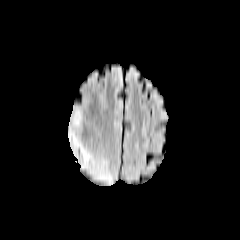
FLAIR magnetic resonance.
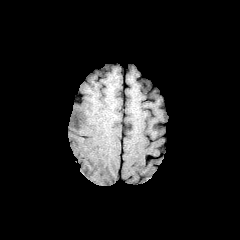
T1-weighted MRI.
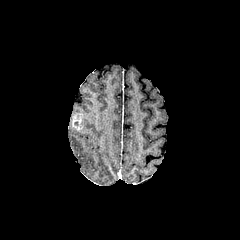
Post-contrast T1-weighted MR.
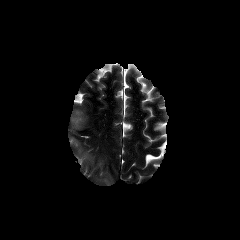
T2-weighted MRI.
Axial slice. Brain.
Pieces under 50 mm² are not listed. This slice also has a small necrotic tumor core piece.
The peritumoral edema is located at (left=68, top=107, right=112, bottom=184). The enhancing tumor appears at (left=71, top=112, right=84, bottom=130).